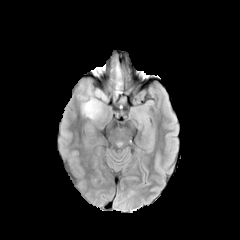
FLAIR magnetic resonance.
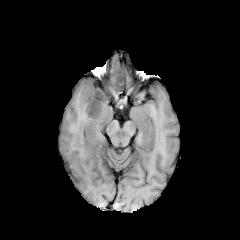
T1-weighted MR image of the same slice.
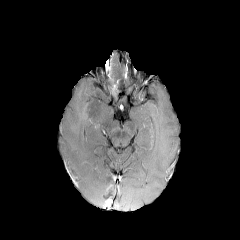
Post-contrast T1-weighted MR image.
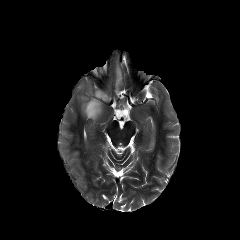
T2-weighted MRI of the same slice.
240x240
* peritumoral edema: [115,63,122,95], [80,85,107,120]